FLAIR magnetic resonance.
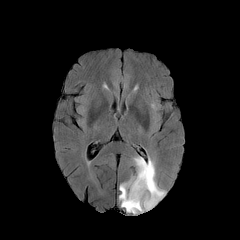
T1-weighted magnetic resonance.
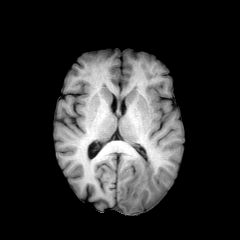
Post-contrast T1-weighted MRI.
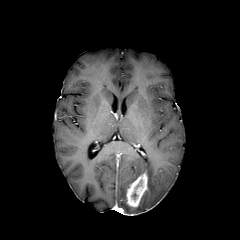
T2-weighted MRI.
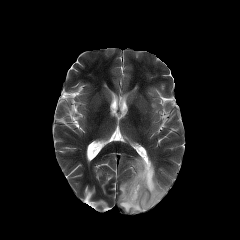
Image size 240x240
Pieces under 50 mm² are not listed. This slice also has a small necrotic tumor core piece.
peritumoral edema: bounding box 119, 157, 165, 213
enhancing tumor: bounding box 126, 172, 147, 207